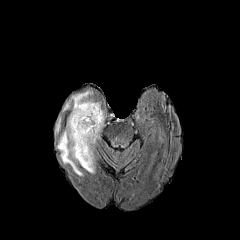
FLAIR magnetic resonance.
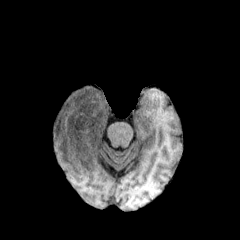
T1-weighted MRI of the same slice.
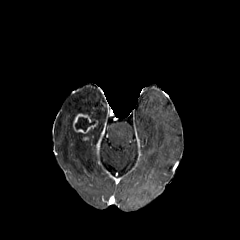
Post-contrast T1-weighted MR.
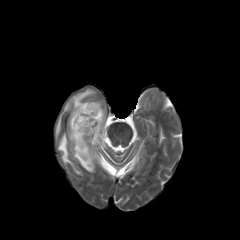
T2-weighted magnetic resonance of the same slice.
240x240 | Axial plane
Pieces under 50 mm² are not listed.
2 peritumoral edema regions are located at 57,90,104,176; 55,116,61,132. The largest enhancing tumor region is at 73,113,97,133. The necrotic tumor core is located at 75,117,95,131.